Head, Image size 240x240
FLAIR MRI.
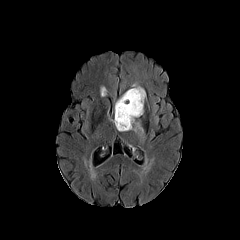
T1-weighted MRI.
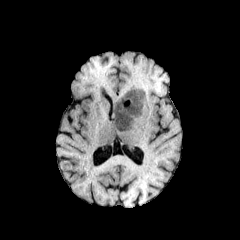
Post-contrast T1-weighted MR image.
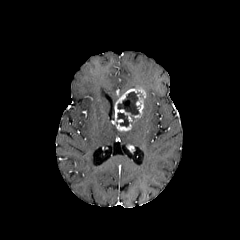
T2-weighted magnetic resonance.
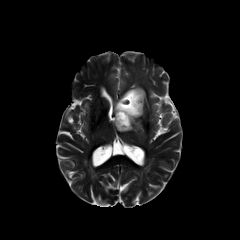
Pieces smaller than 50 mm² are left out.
Annotated regions:
- peritumoral edema: 131 119 143 137
- enhancing tumor: 113 88 145 131
- necrotic tumor core: 117 112 129 127, 117 91 140 119